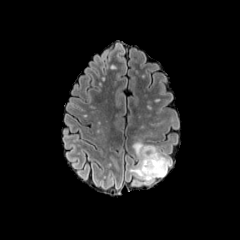
FLAIR MR.
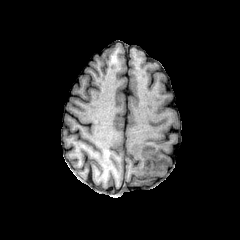
T1-weighted MR of the same slice.
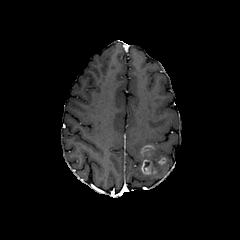
Post-contrast T1-weighted magnetic resonance.
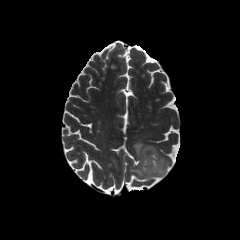
T2-weighted magnetic resonance of the same slice.
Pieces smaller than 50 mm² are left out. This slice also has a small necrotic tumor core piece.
{
  "enhancing_tumor": [
    "<box>141,159,155,174</box>",
    "<box>140,145,154,156</box>"
  ],
  "peritumoral_edema": [
    "<box>129,141,170,181</box>"
  ]
}